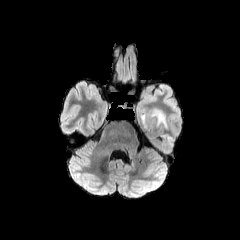
FLAIR MRI.
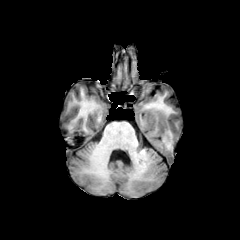
T1-weighted MR image of the same slice.
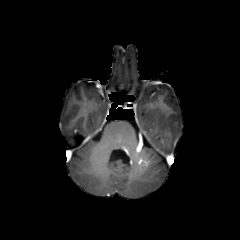
Same slice, post-contrast T1-weighted magnetic resonance.
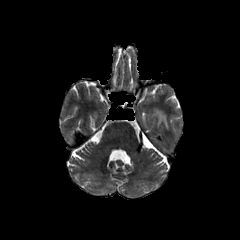
Same slice, T2-weighted MR.
Head | Axial view
{"peritumoral_edema": ["box(151, 107, 167, 127)", "box(141, 115, 147, 129)"]}